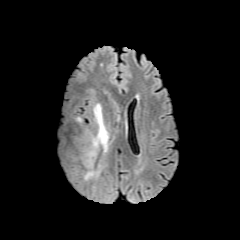
FLAIR magnetic resonance.
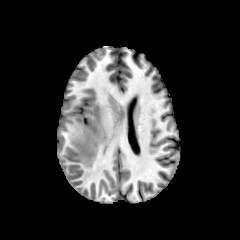
T1-weighted MRI of the same slice.
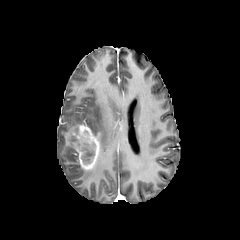
Post-contrast T1-weighted MR.
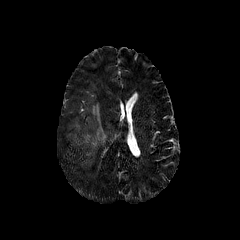
T2-weighted MR.
Image size 240x240; Head
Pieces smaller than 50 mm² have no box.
The largest peritumoral edema region lies within (84,103,114,179). The enhancing tumor is located at (66,124,101,169). The necrotic tumor core is located at (81,144,94,163).